Head
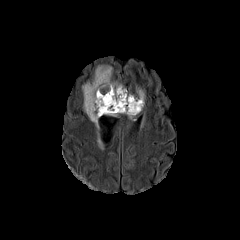
FLAIR MRI.
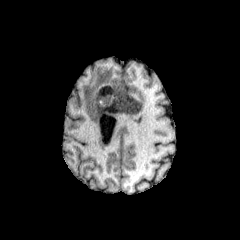
T1-weighted MR image.
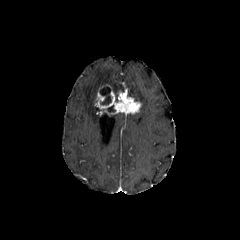
Post-contrast T1-weighted magnetic resonance of the same slice.
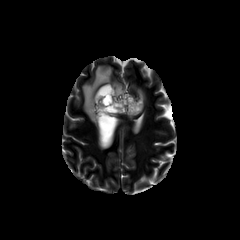
T2-weighted MR of the same slice.
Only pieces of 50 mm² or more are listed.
The 2 largest peritumoral edema regions are located at [82,65,124,127], [128,88,144,111]. The enhancing tumor is bounded by [95,85,141,115]. The largest necrotic tumor core region is located at [100,86,111,104].